FLAIR MRI.
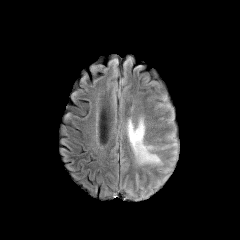
T1-weighted MR image.
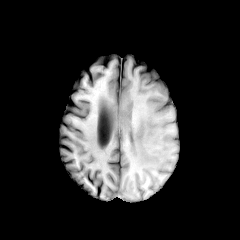
Post-contrast T1-weighted MRI.
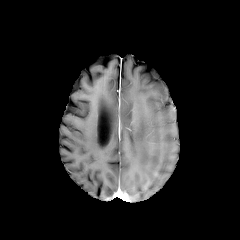
T2-weighted MRI.
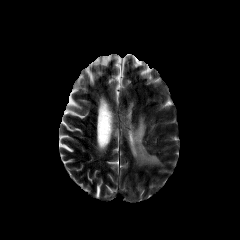
Annotated regions:
* peritumoral edema: (128,119,158,162)